Head. Slice 55 of 155. 240x240.
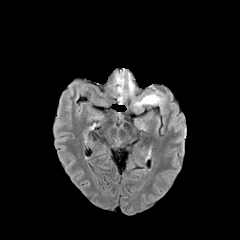
FLAIR MR image.
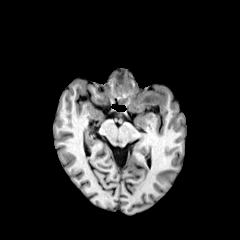
T1-weighted MRI of the same slice.
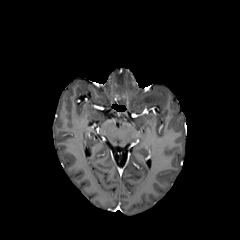
Post-contrast T1-weighted MR image.
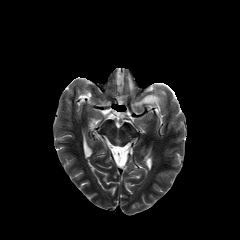
T2-weighted MR.
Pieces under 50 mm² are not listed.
peritumoral edema: (128,74,134,94), (116,73,124,93), (134,94,164,106)